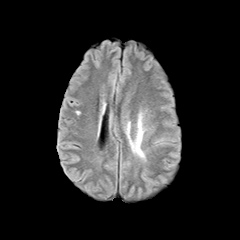
FLAIR MRI.
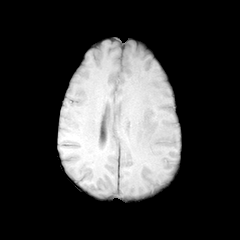
T1-weighted MR of the same slice.
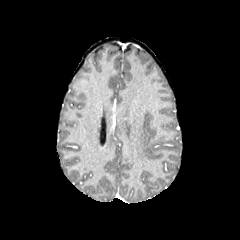
Post-contrast T1-weighted MR image.
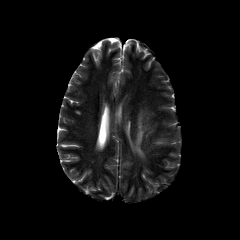
T2-weighted magnetic resonance.
Brain | 240x240 px | Axial view
peritumoral edema: <box>130,112,144,157</box>